FLAIR MRI.
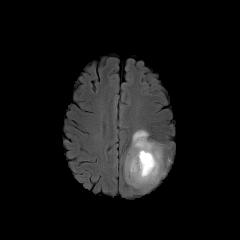
T1-weighted MR image.
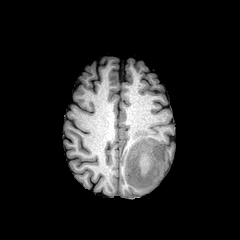
Post-contrast T1-weighted MRI.
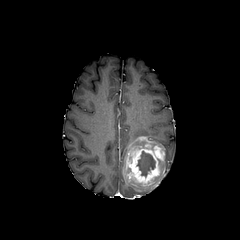
T2-weighted MR.
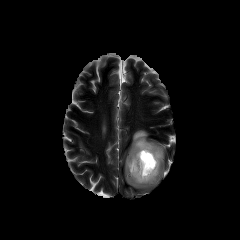
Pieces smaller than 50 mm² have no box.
enhancing_tumor:
  - (124,136,164,187)
necrotic_tumor_core:
  - (137,151,155,176)
peritumoral_edema:
  - (130,129,148,147)
  - (132,170,165,191)